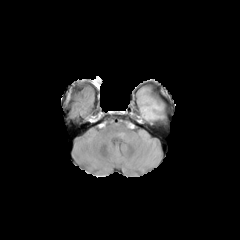
FLAIR magnetic resonance.
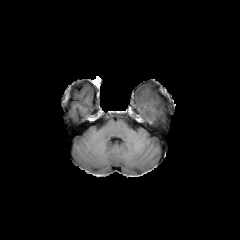
T1-weighted MR.
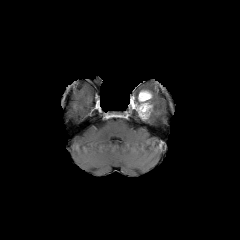
Post-contrast T1-weighted MR image.
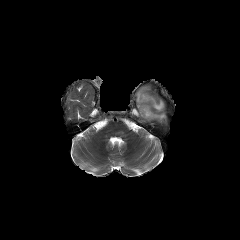
T2-weighted MR of the same slice.
Axial view | Head
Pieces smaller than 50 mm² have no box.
peritumoral edema: (146, 98, 163, 120)
enhancing tumor: (132, 90, 153, 120)